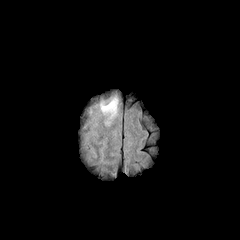
FLAIR MR image.
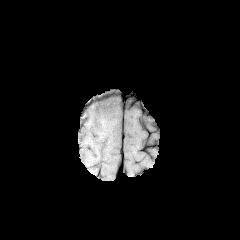
T1-weighted MRI.
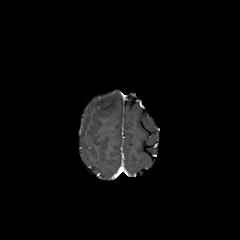
Post-contrast T1-weighted magnetic resonance.
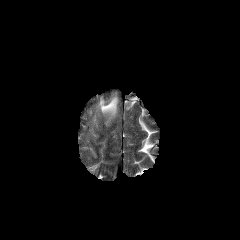
T2-weighted MRI.
Brain
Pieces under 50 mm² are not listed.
{
  "peritumoral_edema": [
    "(100,97,117,119)"
  ]
}